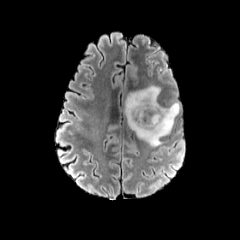
FLAIR MRI.
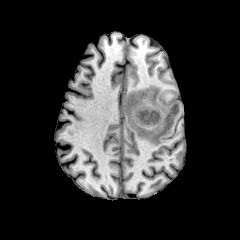
T1-weighted magnetic resonance of the same slice.
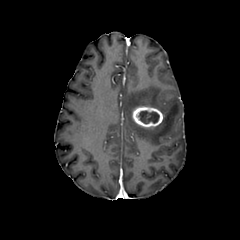
Post-contrast T1-weighted magnetic resonance of the same slice.
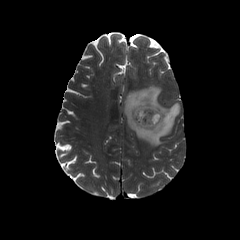
T2-weighted MR image.
Axial plane | Image size 240x240
enhancing tumor at (132, 106, 163, 127)
necrotic tumor core at (139, 111, 159, 123)
peritumoral edema at (124, 85, 180, 146)